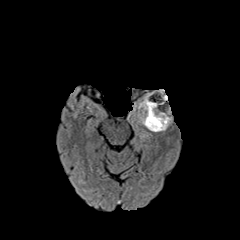
FLAIR MR.
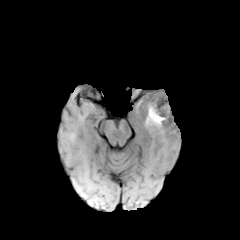
T1-weighted MR image.
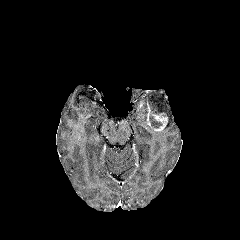
Same slice, post-contrast T1-weighted magnetic resonance.
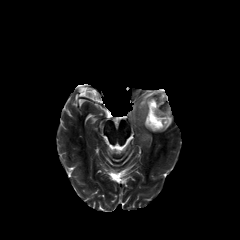
T2-weighted MR.
Head
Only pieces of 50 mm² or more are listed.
peritumoral edema: region(163, 96, 172, 130); region(129, 89, 164, 132)
necrotic tumor core: region(148, 92, 167, 128)
enhancing tumor: region(146, 101, 167, 131)